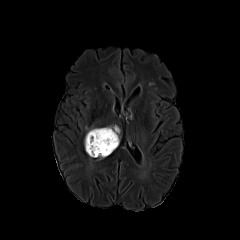
FLAIR MRI.
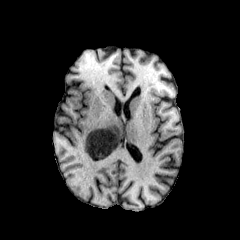
T1-weighted MR image of the same slice.
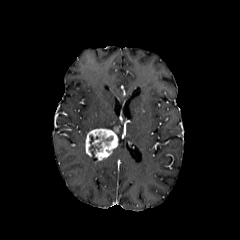
Same slice, post-contrast T1-weighted MRI.
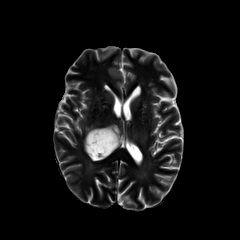
T2-weighted MRI.
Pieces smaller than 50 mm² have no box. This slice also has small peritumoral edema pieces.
necrotic tumor core = <bbox>89, 135, 101, 156</bbox>
enhancing tumor = <bbox>85, 127, 118, 159</bbox>